FLAIR MR image.
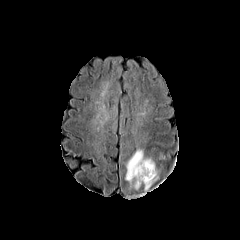
T1-weighted MR.
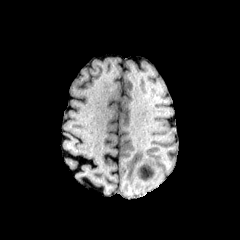
Post-contrast T1-weighted MRI.
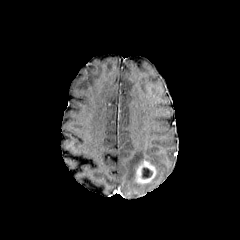
T2-weighted MR image.
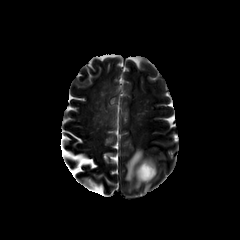
Brain. 240x240 px.
Segmented structures:
- enhancing tumor: [x1=135, y1=160, x2=156, y2=183]
- peritumoral edema: [x1=144, y1=173, x2=158, y2=192], [x1=125, y1=149, x2=155, y2=189]
- necrotic tumor core: [x1=142, y1=168, x2=152, y2=177]